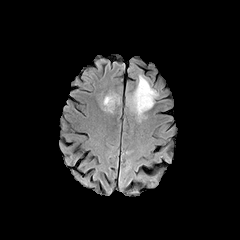
FLAIR MR.
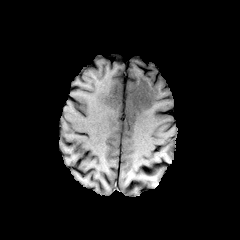
T1-weighted magnetic resonance.
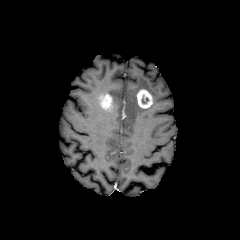
Post-contrast T1-weighted MRI of the same slice.
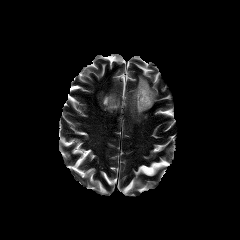
T2-weighted MR.
Axial view | 240x240 | Brain
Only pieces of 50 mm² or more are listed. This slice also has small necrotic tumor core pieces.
enhancing_tumor:
  - 136:89:153:108
  - 99:94:115:110
peritumoral_edema:
  - 107:93:119:108
  - 127:75:158:121